Head, Slice index 82, Image width 240 mm, 1.00 mm slice spacing
FLAIR MR.
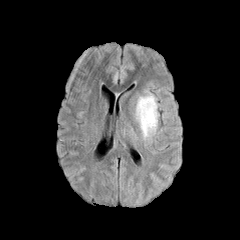
T1-weighted MR.
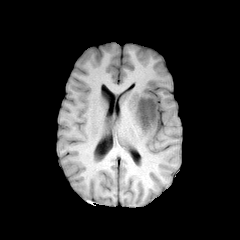
Post-contrast T1-weighted MR image.
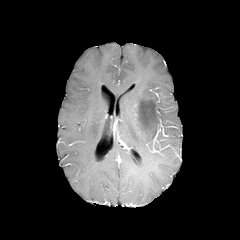
T2-weighted MR image.
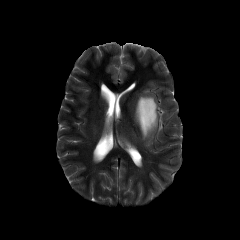
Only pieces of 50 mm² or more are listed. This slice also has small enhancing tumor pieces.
<segmentation>
  <peritumoral_edema>{"x1": 134, "y1": 90, "x2": 159, "y2": 140}</peritumoral_edema>
  <necrotic_tumor_core>{"x1": 141, "y1": 102, "x2": 153, "y2": 124}</necrotic_tumor_core>
</segmentation>